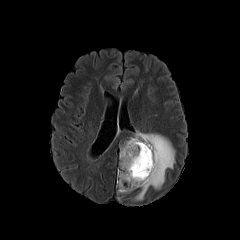
FLAIR MRI.
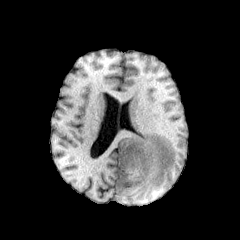
T1-weighted MR of the same slice.
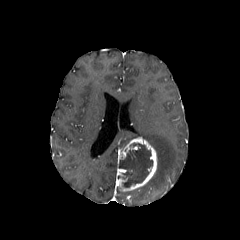
Same slice, post-contrast T1-weighted MRI.
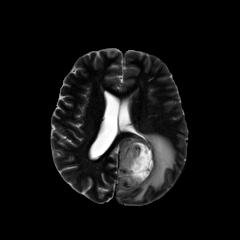
T2-weighted magnetic resonance.
Image size 240x240.
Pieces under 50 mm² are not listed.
enhancing tumor — <box>116,137,157,191</box>
peritumoral edema — <box>121,132,175,200</box>
necrotic tumor core — <box>119,143,152,187</box>